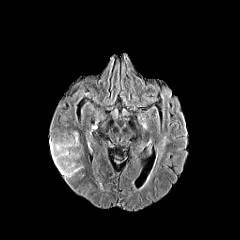
FLAIR magnetic resonance.
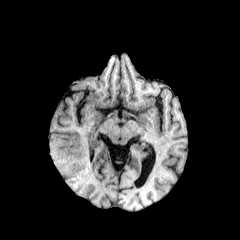
T1-weighted MR.
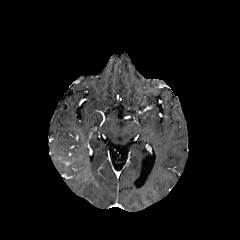
Post-contrast T1-weighted MR of the same slice.
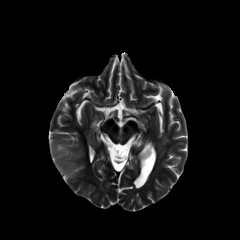
T2-weighted MRI of the same slice.
Brain | Axial view
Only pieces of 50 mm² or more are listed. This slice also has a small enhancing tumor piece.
The largest peritumoral edema region is at [x1=50, y1=139, x2=81, y2=178].